FLAIR MRI.
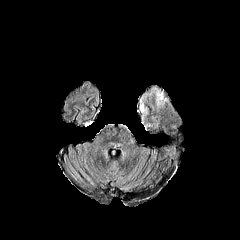
T1-weighted MRI.
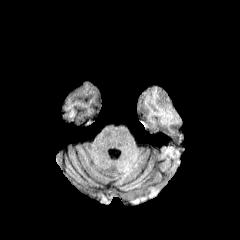
Post-contrast T1-weighted MR.
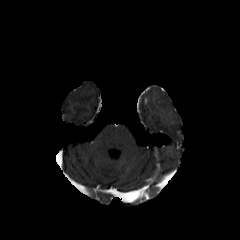
T2-weighted MRI.
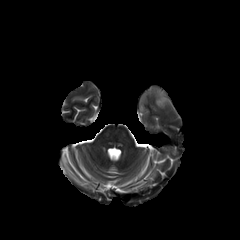
Brain.
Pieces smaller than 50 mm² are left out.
<segmentation>
  <peritumoral_edema>box(155, 89, 167, 106)</peritumoral_edema>
</segmentation>